Axial slice; 240x240 px
FLAIR MR.
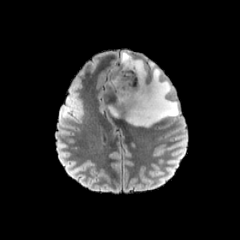
T1-weighted MRI.
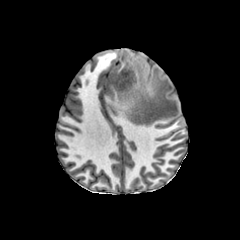
Post-contrast T1-weighted MRI.
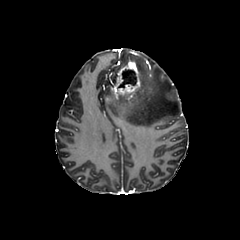
T2-weighted magnetic resonance.
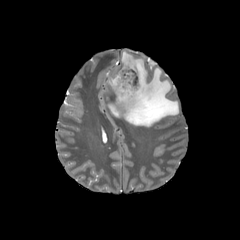
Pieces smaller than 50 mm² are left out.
necrotic tumor core: bounding box region(118, 69, 136, 87)
peritumoral edema: bounding box region(108, 105, 118, 116); region(117, 51, 179, 127)
enhancing tumor: bounding box region(110, 60, 140, 102)